Image size 240x240 | Head
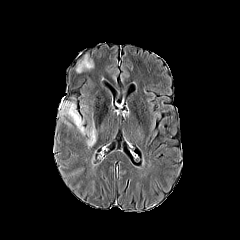
FLAIR magnetic resonance.
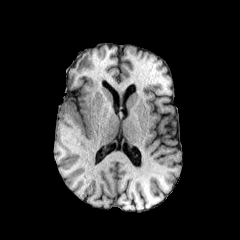
T1-weighted MR of the same slice.
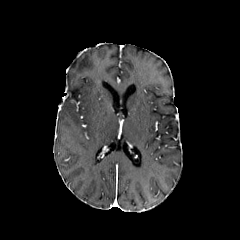
Post-contrast T1-weighted MR.
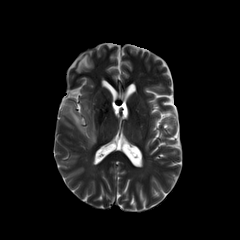
T2-weighted magnetic resonance of the same slice.
2 peritumoral edema regions are located at [76,52,95,73], [59,96,96,146].